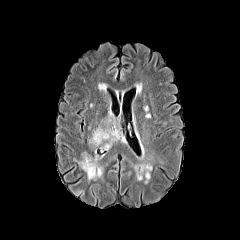
FLAIR MR image.
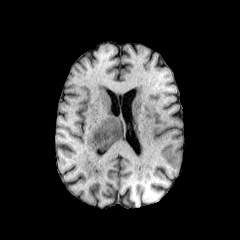
T1-weighted MR of the same slice.
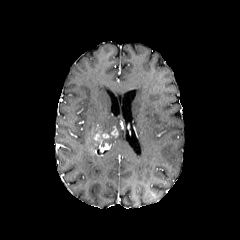
Post-contrast T1-weighted MRI of the same slice.
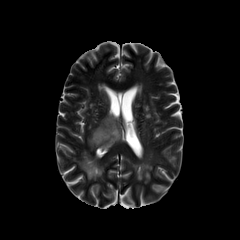
T2-weighted magnetic resonance.
Head
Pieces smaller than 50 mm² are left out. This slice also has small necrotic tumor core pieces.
enhancing tumor — (x1=89, y1=126, x2=118, y2=145)
peritumoral edema — (x1=96, y1=113, x2=123, y2=144), (x1=78, y1=152, x2=103, y2=180)